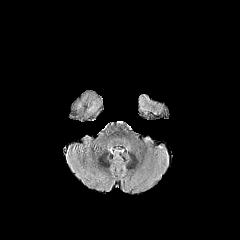
FLAIR MRI.
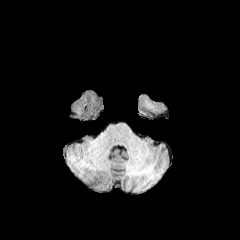
T1-weighted MR of the same slice.
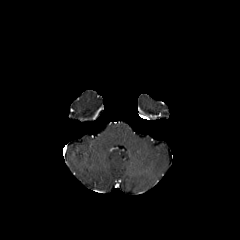
Post-contrast T1-weighted MR image.
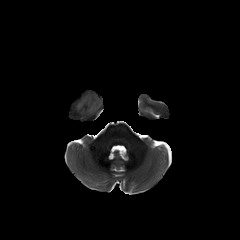
T2-weighted MR of the same slice.
Brain
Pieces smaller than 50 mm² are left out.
peritumoral edema at {"x1": 88, "y1": 103, "x2": 97, "y2": 112}